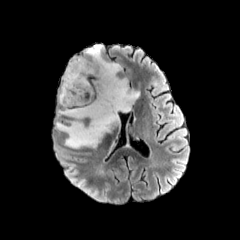
FLAIR MRI.
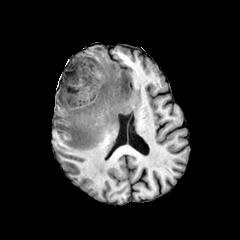
T1-weighted MR.
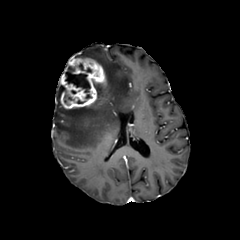
Post-contrast T1-weighted MRI.
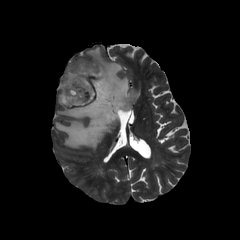
Same slice, T2-weighted magnetic resonance.
Brain.
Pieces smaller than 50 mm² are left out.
The enhancing tumor is bounded by rect(60, 56, 106, 108). The largest necrotic tumor core region is located at rect(65, 66, 91, 99). The largest peritumoral edema region is located at rect(56, 45, 139, 148).